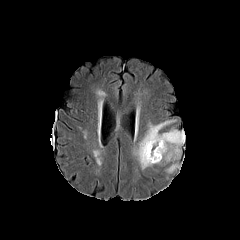
FLAIR MR image.
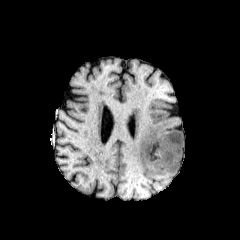
Same slice, T1-weighted MR.
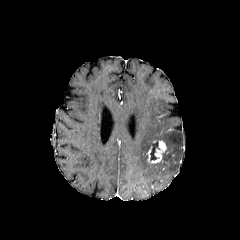
Post-contrast T1-weighted MR image of the same slice.
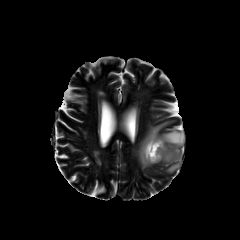
T2-weighted MR image.
Head
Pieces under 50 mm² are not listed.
The largest enhancing tumor region is bounded by bbox(147, 140, 166, 163). The 2 largest peritumoral edema regions are located at bbox(134, 120, 184, 169); bbox(166, 163, 179, 173). The necrotic tumor core lies within bbox(150, 141, 158, 160).